Slice index 69
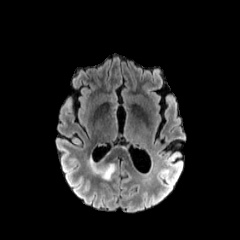
FLAIR MR.
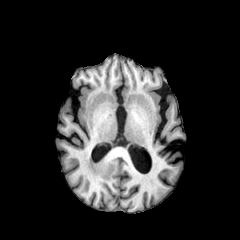
Same slice, T1-weighted magnetic resonance.
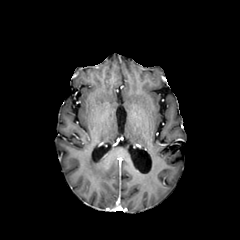
Post-contrast T1-weighted MRI.
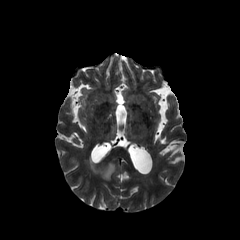
T2-weighted MR image of the same slice.
peritumoral_edema:
  - 89, 158, 115, 180